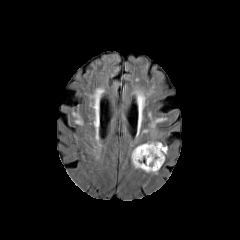
FLAIR MR.
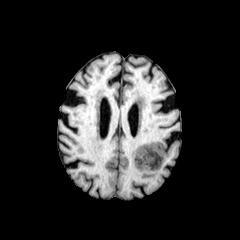
T1-weighted magnetic resonance.
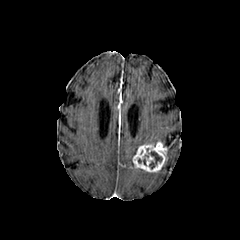
Post-contrast T1-weighted magnetic resonance of the same slice.
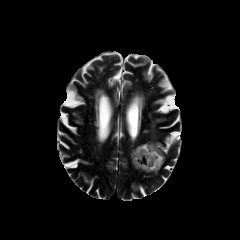
T2-weighted MR of the same slice.
240x240 px; Axial view
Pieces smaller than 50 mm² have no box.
Findings:
• necrotic tumor core: bbox=[149, 151, 162, 168]
• peritumoral edema: bbox=[152, 118, 165, 127]; bbox=[131, 144, 143, 166]
• enhancing tumor: bbox=[132, 142, 167, 172]